FLAIR MRI.
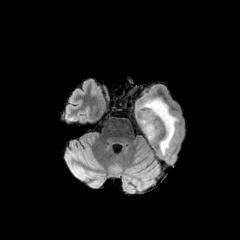
T1-weighted magnetic resonance.
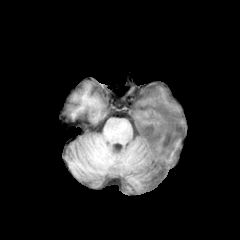
Post-contrast T1-weighted magnetic resonance.
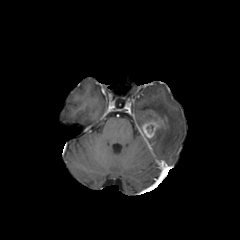
T2-weighted MR.
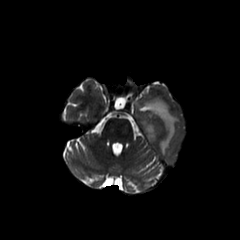
Brain.
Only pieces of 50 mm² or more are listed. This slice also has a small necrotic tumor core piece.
{
  "peritumoral_edema": [
    "140, 98, 179, 155"
  ],
  "enhancing_tumor": [
    "140, 111, 167, 140"
  ]
}